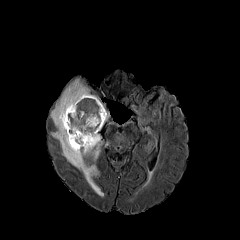
FLAIR MRI.
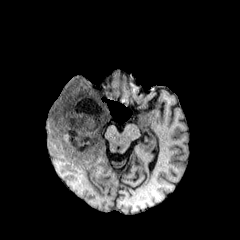
T1-weighted magnetic resonance of the same slice.
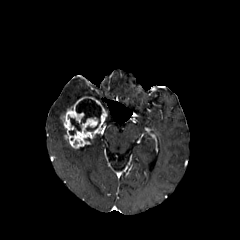
Post-contrast T1-weighted magnetic resonance.
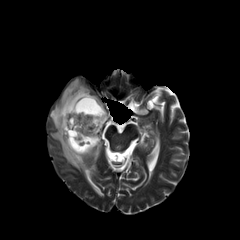
T2-weighted MR image.
240x240, Brain
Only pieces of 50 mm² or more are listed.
The largest peritumoral edema region is located at [50, 79, 103, 196]. The enhancing tumor is bounded by [60, 96, 107, 149]. The 2 largest necrotic tumor core regions appear at [70, 118, 81, 130], [76, 99, 101, 131].